Axial view.
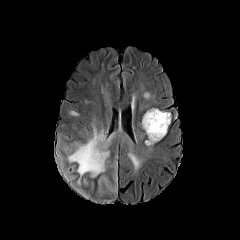
FLAIR MRI.
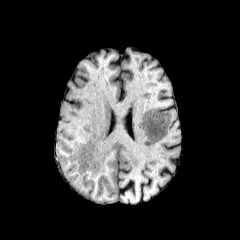
Same slice, T1-weighted MR image.
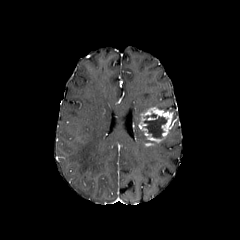
Post-contrast T1-weighted magnetic resonance.
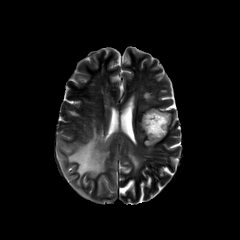
T2-weighted magnetic resonance.
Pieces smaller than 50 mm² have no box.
{"peritumoral_edema": ["<box>97,162,116,194</box>", "<box>59,125,141,183</box>", "<box>57,151,76,180</box>", "<box>73,182,93,195</box>"], "enhancing_tumor": ["<box>139,107,172,142</box>"], "necrotic_tumor_core": ["<box>143,116,166,138</box>"]}